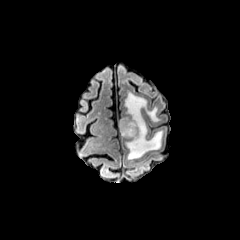
FLAIR MR image.
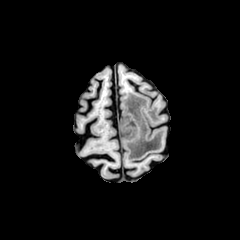
T1-weighted MRI.
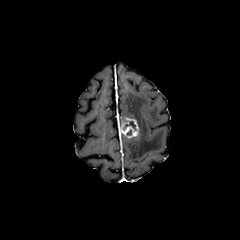
Post-contrast T1-weighted magnetic resonance.
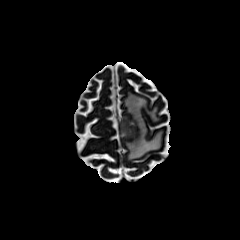
T2-weighted MR image of the same slice.
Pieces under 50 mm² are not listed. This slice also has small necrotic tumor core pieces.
The enhancing tumor is at x1=118, y1=116, x2=139, y2=138. The peritumoral edema is located at x1=124, y1=91, x2=162, y2=159.